Brain | 240x240 px
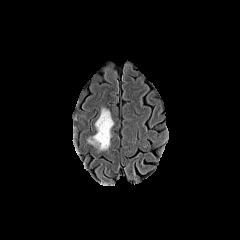
FLAIR MR.
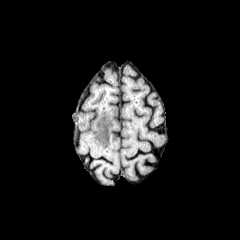
Same slice, T1-weighted magnetic resonance.
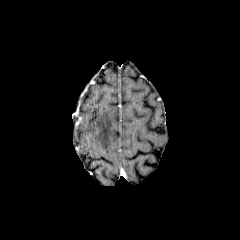
Post-contrast T1-weighted MR image.
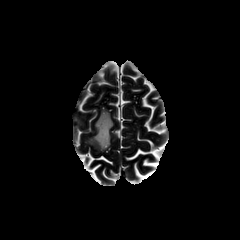
T2-weighted MR.
peritumoral edema: <box>88,108,113,150</box>